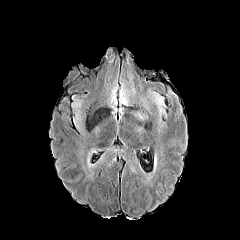
FLAIR magnetic resonance.
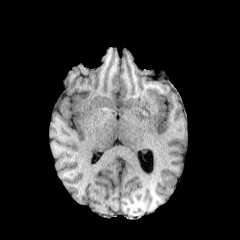
Same slice, T1-weighted magnetic resonance.
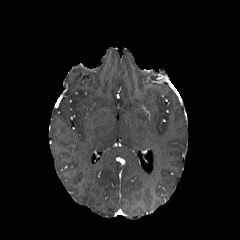
Post-contrast T1-weighted magnetic resonance.
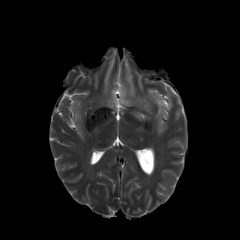
Same slice, T2-weighted magnetic resonance.
Axial slice | Brain
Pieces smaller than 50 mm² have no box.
<segmentation>
  <peritumoral_edema>rect(135, 112, 146, 119); rect(153, 94, 163, 112)</peritumoral_edema>
</segmentation>